FLAIR MR image.
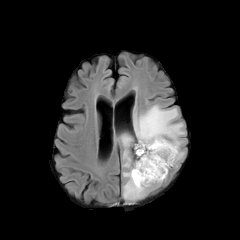
T1-weighted MR image.
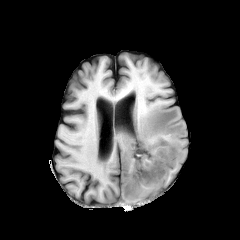
Post-contrast T1-weighted MR image.
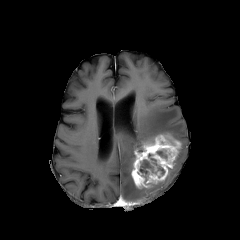
T2-weighted MR.
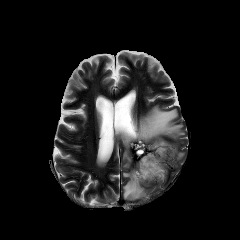
Head; Axial slice; 240x240 px
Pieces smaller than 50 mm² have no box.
enhancing tumor = (131, 133, 181, 188)
necrotic tumor core = (140, 160, 152, 173)
peritumoral edema = (120, 134, 150, 200), (133, 105, 185, 148), (175, 151, 184, 166)